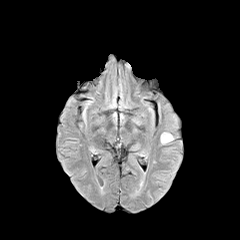
FLAIR magnetic resonance.
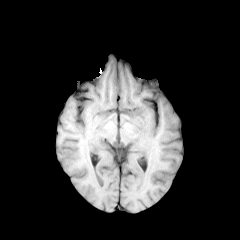
T1-weighted magnetic resonance.
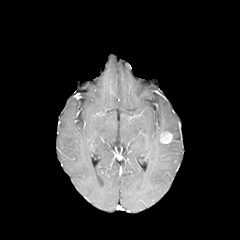
Post-contrast T1-weighted magnetic resonance.
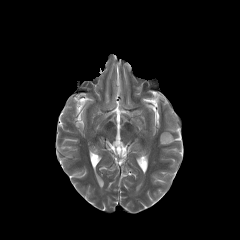
T2-weighted MRI of the same slice.
Image size 240x240; Head
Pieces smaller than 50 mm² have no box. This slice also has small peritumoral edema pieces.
The enhancing tumor is at region(160, 131, 172, 143).